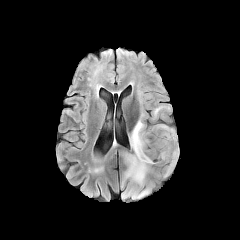
FLAIR MR.
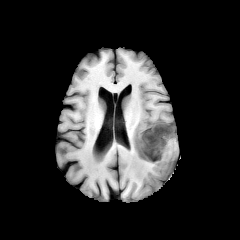
Same slice, T1-weighted MR image.
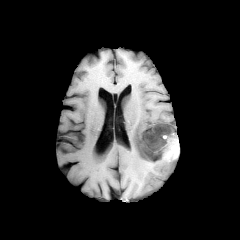
Post-contrast T1-weighted magnetic resonance.
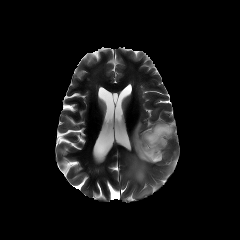
Same slice, T2-weighted magnetic resonance.
Axial plane
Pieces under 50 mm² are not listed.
enhancing tumor: bounding box 137 125 178 161
peritumoral edema: bounding box 126 113 176 184, 153 108 160 118, 136 188 149 197
necrotic tumor core: bounding box 138 126 174 160